Slice 72/155, Image width 240 mm, 1.00 mm slice spacing, 240x240 px, Brain
FLAIR MRI.
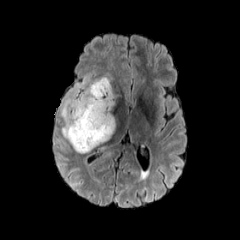
T1-weighted magnetic resonance.
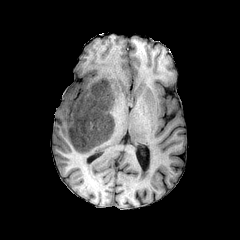
Post-contrast T1-weighted MR image.
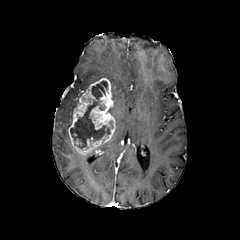
T2-weighted MR image.
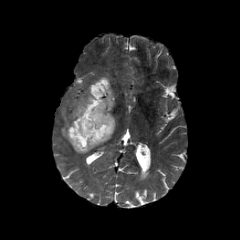
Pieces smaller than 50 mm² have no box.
necrotic tumor core: x1=70, y1=101, x2=110, y2=148; x1=92, y1=81, x2=107, y2=99
enhancing tumor: x1=68, y1=77, x2=115, y2=154
peritumoral edema: x1=57, y1=74, x2=112, y2=141